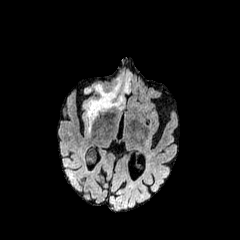
FLAIR MRI.
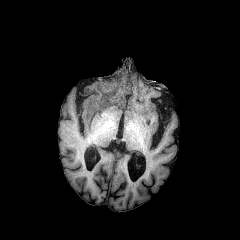
T1-weighted MR.
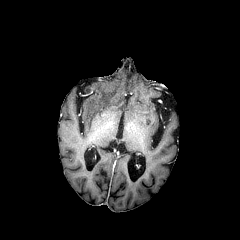
Post-contrast T1-weighted MR image.
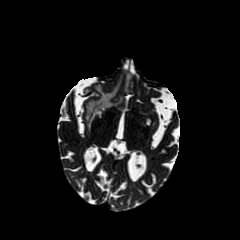
Same slice, T2-weighted MR image.
Head
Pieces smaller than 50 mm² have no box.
Segmented structures:
* peritumoral edema: box(86, 80, 122, 130); box(124, 74, 130, 92)